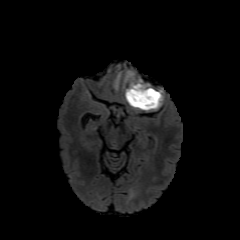
FLAIR MR.
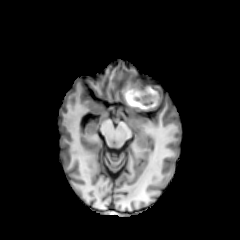
Same slice, T1-weighted magnetic resonance.
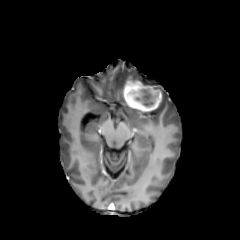
Post-contrast T1-weighted MR image of the same slice.
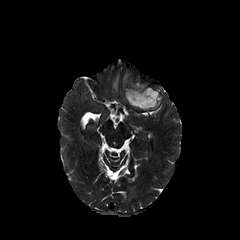
T2-weighted MR.
Axial view; Brain
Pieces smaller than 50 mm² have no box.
enhancing tumor: box(123, 75, 161, 111)
necrotic tumor core: box(128, 88, 158, 107)
peritumoral edema: box(124, 71, 133, 84); box(113, 72, 120, 89)